Axial view
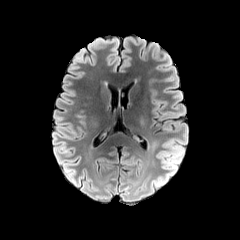
FLAIR MR.
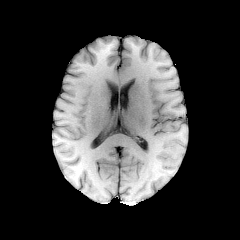
T1-weighted MR image of the same slice.
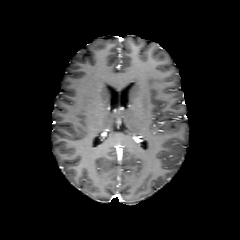
Post-contrast T1-weighted magnetic resonance.
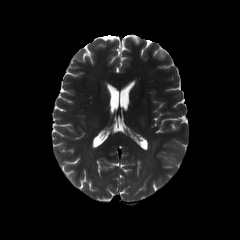
Same slice, T2-weighted MR.
Segmented structures:
• peritumoral edema: l=154, t=139, r=184, b=186